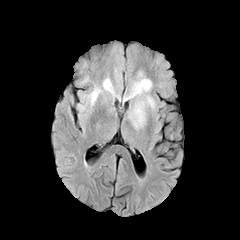
FLAIR magnetic resonance.
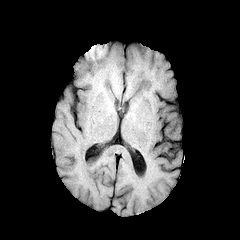
Same slice, T1-weighted magnetic resonance.
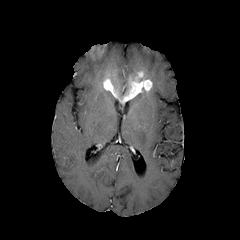
Post-contrast T1-weighted magnetic resonance.
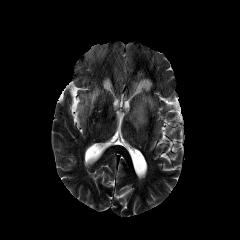
T2-weighted MR.
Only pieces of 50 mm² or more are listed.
enhancing_tumor:
  - [103,71,152,102]
peritumoral_edema:
  - [129,91,155,128]
  - [87,87,111,106]